Axial slice | Slice 114 of 155 | Image width 240 mm, 1.00 mm slice spacing
FLAIR MRI.
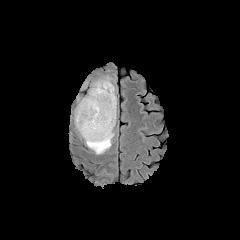
T1-weighted MRI.
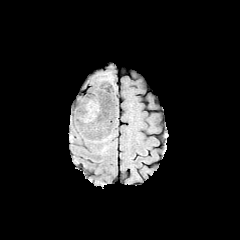
Post-contrast T1-weighted MR.
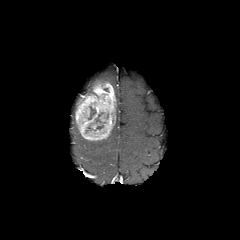
T2-weighted MR image.
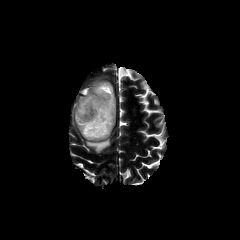
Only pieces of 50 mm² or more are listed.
necrotic tumor core at (left=88, top=106, right=95, bottom=119)
peritumoral edema at (left=85, top=92, right=117, bottom=154), (left=92, top=77, right=111, bottom=86)
enhancing tumor at (left=75, top=81, right=116, bottom=140)